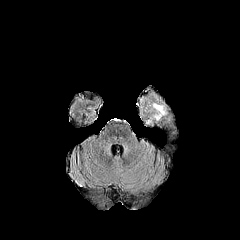
FLAIR MR image.
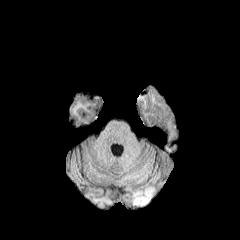
Same slice, T1-weighted MR image.
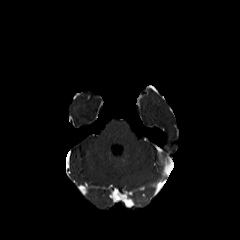
Post-contrast T1-weighted MRI.
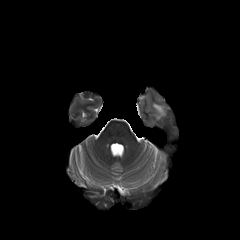
T2-weighted MR image.
Image size 240x240. Head. Axial slice.
peritumoral edema at l=153, t=103, r=165, b=119